FLAIR MR image.
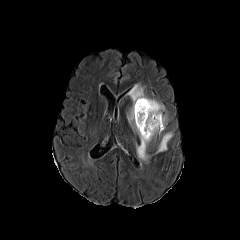
T1-weighted MR.
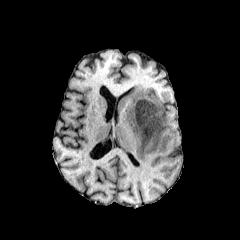
Post-contrast T1-weighted MRI.
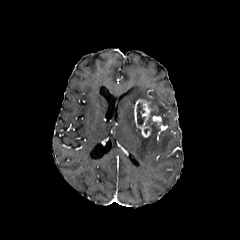
T2-weighted magnetic resonance.
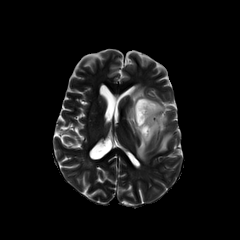
Axial view; Head; Image size 240x240
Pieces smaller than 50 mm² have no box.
2 peritumoral edema regions appear at rect(127, 84, 167, 162); rect(156, 132, 172, 152). 2 enhancing tumor regions are bounded by rect(134, 99, 157, 137); rect(151, 115, 161, 124). The largest necrotic tumor core region lies within rect(137, 103, 144, 125).